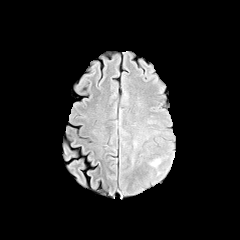
FLAIR MR.
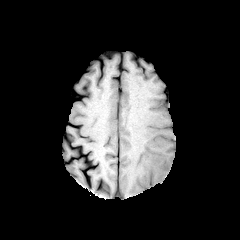
Same slice, T1-weighted MR.
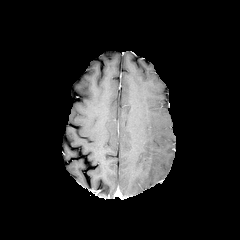
Same slice, post-contrast T1-weighted MRI.
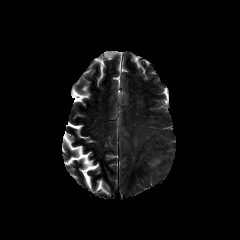
T2-weighted MRI.
Head, Axial plane
The peritumoral edema appears at (x1=149, y1=158, x2=160, y2=167).